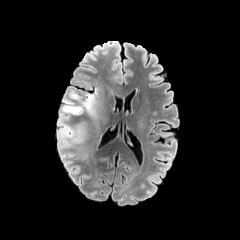
FLAIR MR image.
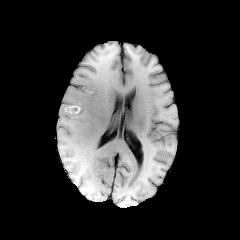
T1-weighted MR of the same slice.
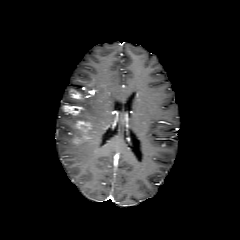
Post-contrast T1-weighted MR image of the same slice.
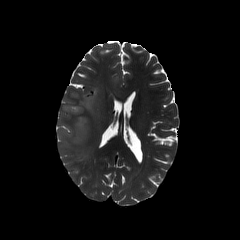
T2-weighted MR image.
Brain
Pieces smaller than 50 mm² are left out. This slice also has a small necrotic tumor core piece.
enhancing tumor: 70 90 89 99, 63 105 83 114, 76 120 91 139
peritumoral edema: 63 91 96 116, 58 106 84 150